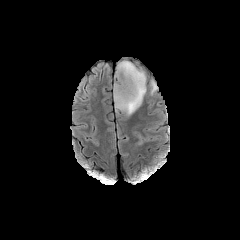
FLAIR MRI.
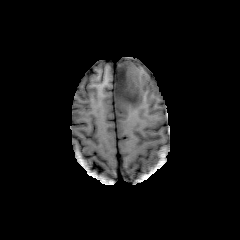
T1-weighted MR image of the same slice.
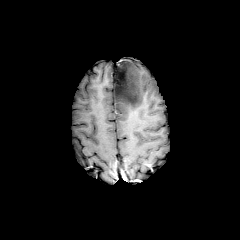
Same slice, post-contrast T1-weighted MR image.
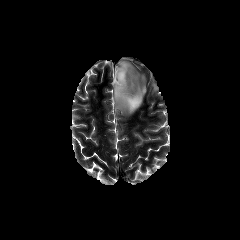
T2-weighted MR.
Head. 240x240 px.
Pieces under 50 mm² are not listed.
The necrotic tumor core is at (114, 61, 139, 106). The 2 largest peritumoral edema regions appear at (151, 80, 157, 92), (114, 60, 146, 119).